FLAIR MR.
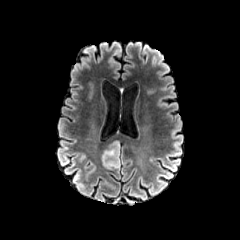
T1-weighted MR image.
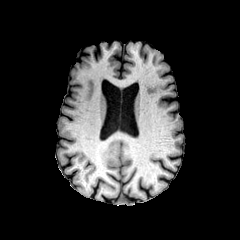
Post-contrast T1-weighted MR image.
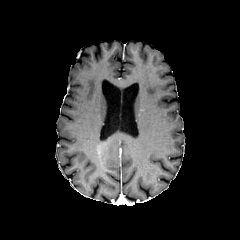
T2-weighted MRI.
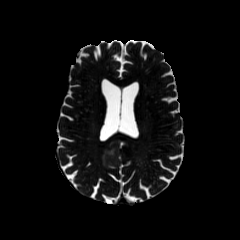
Axial plane. Brain.
{
  "peritumoral_edema": [
    "left=102, top=140, right=120, bottom=169"
  ]
}